FLAIR MRI.
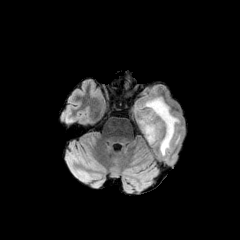
T1-weighted MRI.
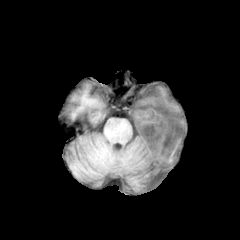
Post-contrast T1-weighted magnetic resonance.
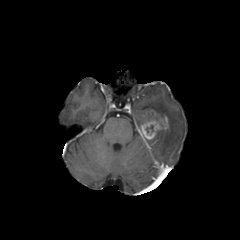
T2-weighted MR image.
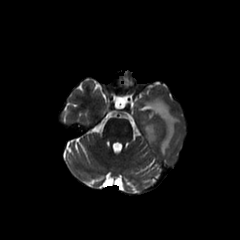
Image size 240x240
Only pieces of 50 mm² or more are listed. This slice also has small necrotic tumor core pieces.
<segmentation>
  <peritumoral_edema>x1=139 y1=97 x2=180 y2=155, x1=173 y1=133 x2=181 y2=145</peritumoral_edema>
  <enhancing_tumor>x1=139 y1=110 x2=168 y2=141</enhancing_tumor>
</segmentation>